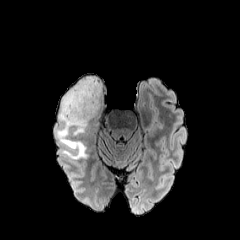
FLAIR MR image.
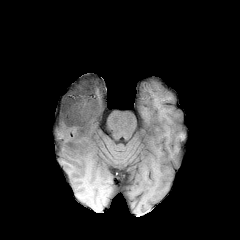
T1-weighted MR image of the same slice.
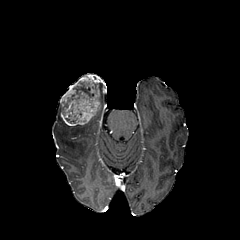
Post-contrast T1-weighted MR.
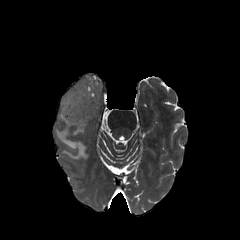
T2-weighted MR image of the same slice.
Brain. Axial slice.
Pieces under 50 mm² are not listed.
enhancing tumor at box(60, 75, 101, 125)
necrotic tumor core at box(73, 81, 93, 96)
peritumoral edema at box(56, 104, 88, 159); box(99, 82, 102, 100)